FLAIR MR image.
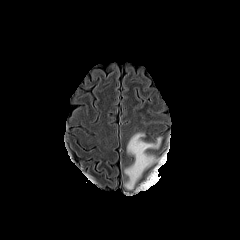
T1-weighted MR image.
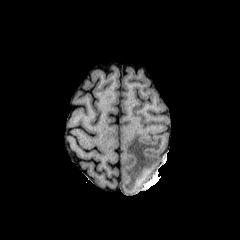
Post-contrast T1-weighted MR.
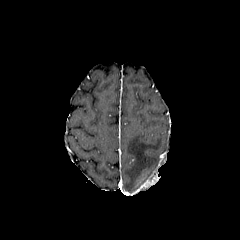
T2-weighted magnetic resonance.
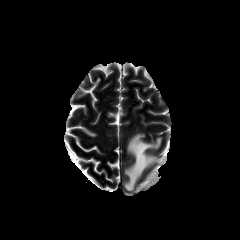
Axial plane.
The peritumoral edema appears at <bbox>124, 131, 163, 189</bbox>.